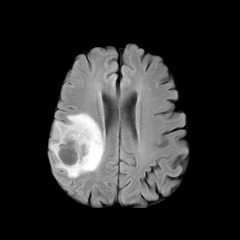
FLAIR MR.
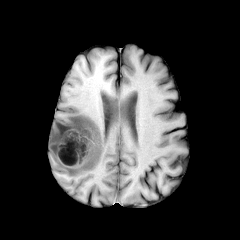
Same slice, T1-weighted magnetic resonance.
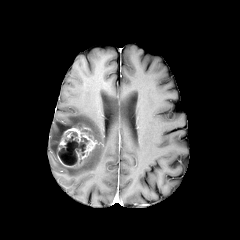
Post-contrast T1-weighted MRI.
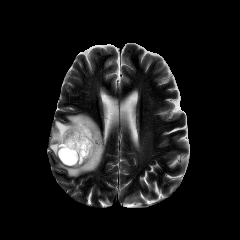
T2-weighted MR image.
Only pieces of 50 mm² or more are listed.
enhancing tumor: bounding box <bbox>57, 124, 97, 167</bbox>
necrotic tumor core: bounding box <bbox>60, 132, 88, 165</bbox>
peritumoral edema: bounding box <bbox>49, 113, 105, 177</bbox>